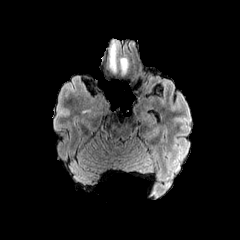
FLAIR magnetic resonance.
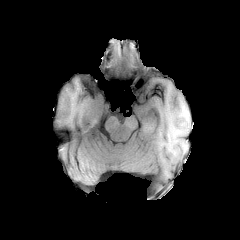
T1-weighted MR image.
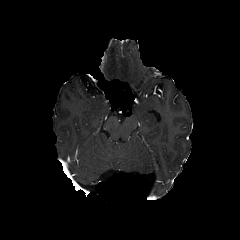
Same slice, post-contrast T1-weighted MR.
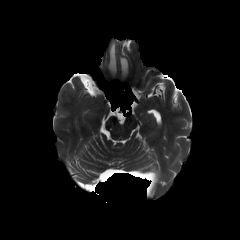
T2-weighted magnetic resonance of the same slice.
Axial plane | Image size 240x240
Findings:
* peritumoral edema: 120:58:127:73, 109:42:116:70